Brain | Image width 240 mm | Slice 85/155
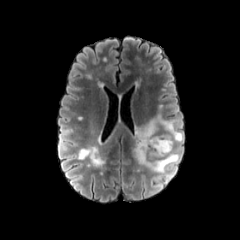
FLAIR magnetic resonance.
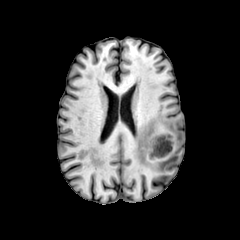
T1-weighted MR image of the same slice.
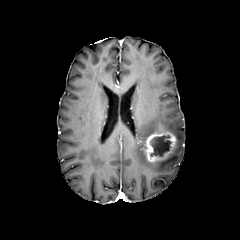
Post-contrast T1-weighted MR image.
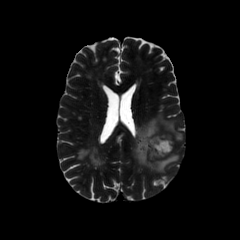
T2-weighted magnetic resonance.
enhancing tumor: bounding box l=144, t=132, r=176, b=161
peritumoral edema: bounding box l=133, t=114, r=183, b=172
necrotic tumor core: bounding box l=150, t=135, r=171, b=156